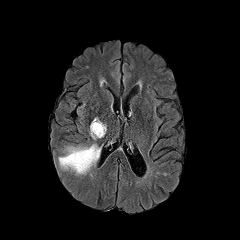
FLAIR magnetic resonance.
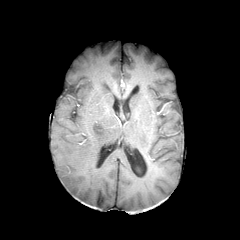
T1-weighted MRI.
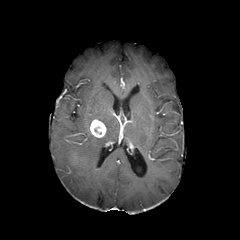
Post-contrast T1-weighted MR.
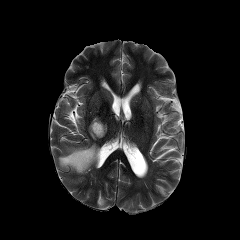
T2-weighted MR.
Axial view
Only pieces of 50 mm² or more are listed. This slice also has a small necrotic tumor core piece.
<segmentation>
  <enhancing_tumor><bbox>90, 119, 106, 137</bbox></enhancing_tumor>
  <peritumoral_edema><bbox>58, 143, 101, 175</bbox></peritumoral_edema>
</segmentation>